FLAIR MRI.
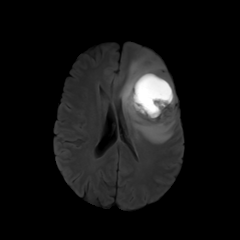
T1-weighted MR image.
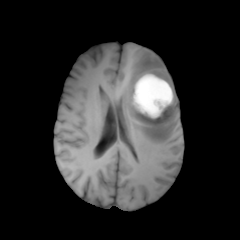
Post-contrast T1-weighted MR.
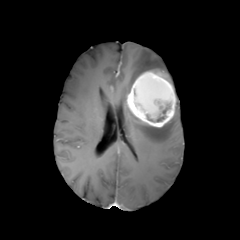
T2-weighted MR.
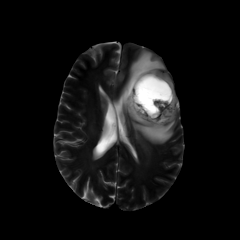
Image size 240x240 | Brain
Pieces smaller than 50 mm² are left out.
Segmented structures:
- necrotic tumor core: (160, 104, 169, 113)
- peritumoral edema: (119, 49, 176, 143)
- enhancing tumor: (126, 71, 176, 127)